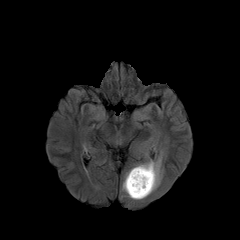
FLAIR MR.
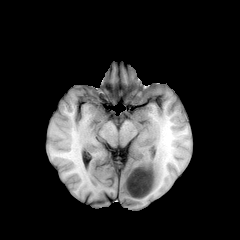
T1-weighted magnetic resonance of the same slice.
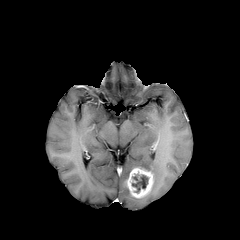
Post-contrast T1-weighted MR.
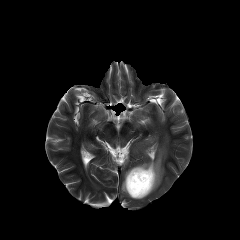
Same slice, T2-weighted magnetic resonance.
{
  "necrotic_tumor_core": [
    "bbox(132, 175, 148, 192)"
  ],
  "enhancing_tumor": [
    "bbox(125, 167, 154, 198)"
  ],
  "peritumoral_edema": [
    "bbox(122, 151, 163, 199)"
  ]
}